Image width 240 mm, Axial view, Slice 107/155, 240x240 px
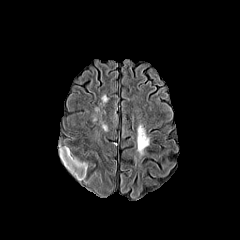
FLAIR MR image.
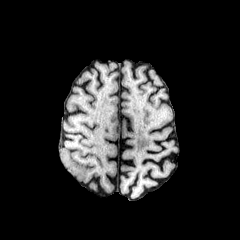
Same slice, T1-weighted MR image.
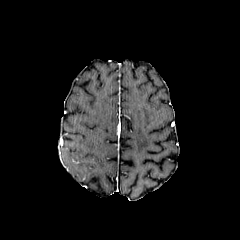
Post-contrast T1-weighted magnetic resonance of the same slice.
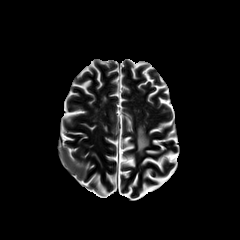
T2-weighted magnetic resonance of the same slice.
<segmentation>
  <peritumoral_edema>bbox=[60, 146, 88, 180]</peritumoral_edema>
</segmentation>